Axial plane, Image size 240x240, Brain
FLAIR MRI.
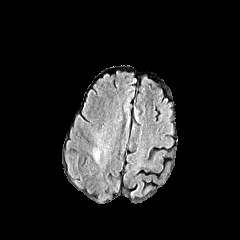
T1-weighted MRI.
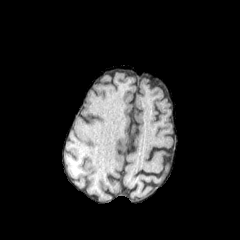
Post-contrast T1-weighted MRI.
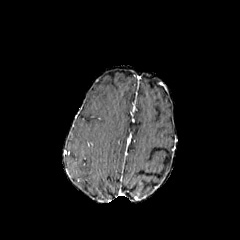
T2-weighted MRI.
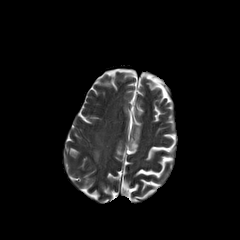
peritumoral edema: x1=93, y1=150, x2=99, y2=159